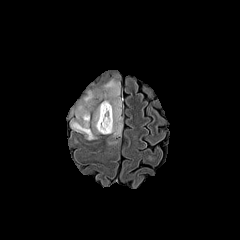
FLAIR MR image.
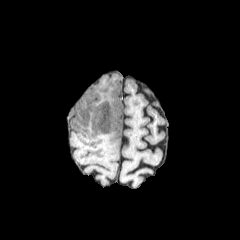
T1-weighted MR.
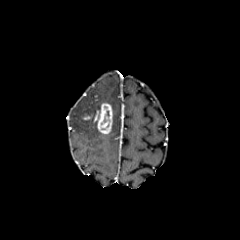
Post-contrast T1-weighted MR image.
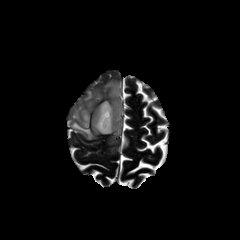
T2-weighted MR image of the same slice.
Brain | Axial view
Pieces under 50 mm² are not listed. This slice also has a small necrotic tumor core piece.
enhancing tumor: x1=94, y1=102, x2=112, y2=134 | peritumoral edema: x1=98, y1=79, x2=121, y2=137; x1=69, y1=90, x2=101, y2=139